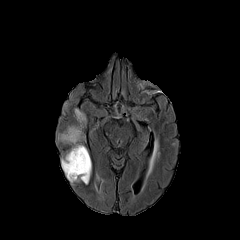
FLAIR MRI.
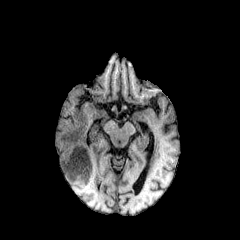
T1-weighted magnetic resonance.
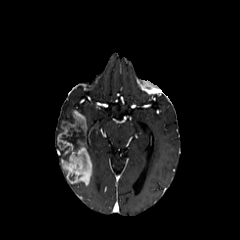
Same slice, post-contrast T1-weighted magnetic resonance.
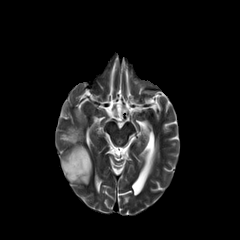
T2-weighted MR image.
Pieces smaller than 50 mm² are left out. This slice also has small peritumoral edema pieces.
enhancing tumor = (57,110,92,184)
necrotic tumor core = (61,125,83,150)